Brain; Slice 122 of 155
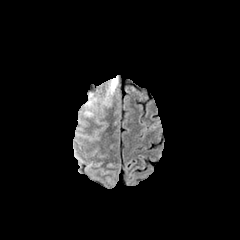
FLAIR MR.
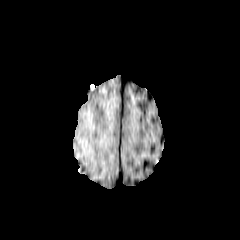
T1-weighted MR image.
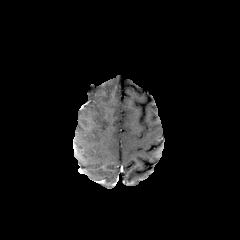
Post-contrast T1-weighted MRI of the same slice.
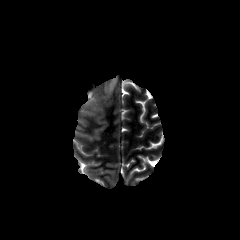
Same slice, T2-weighted MRI.
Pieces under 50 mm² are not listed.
The largest peritumoral edema region lies within x1=105, y1=78, x2=117, y2=99.